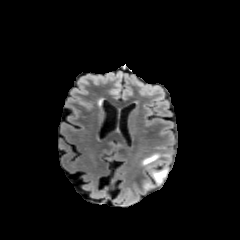
FLAIR MR.
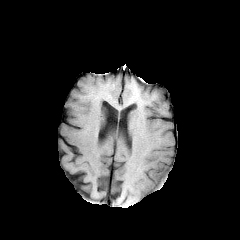
Same slice, T1-weighted MR image.
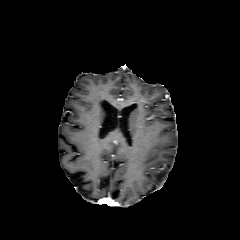
Post-contrast T1-weighted magnetic resonance.
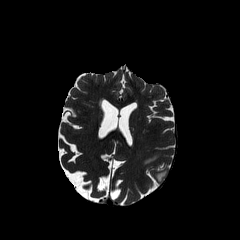
T2-weighted MR image of the same slice.
Head
Findings:
- peritumoral edema: (x1=151, y1=168, x2=167, y2=183), (x1=142, y1=153, x2=159, y2=165), (x1=143, y1=182, x2=151, y2=189)